Slice index 54 | Head | 240x240
FLAIR MRI.
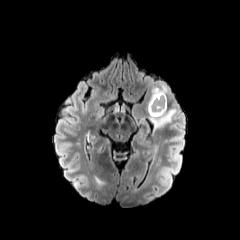
T1-weighted MR.
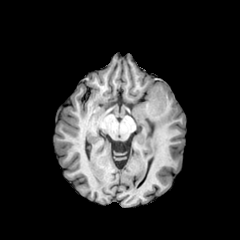
Post-contrast T1-weighted MRI.
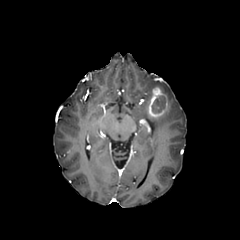
T2-weighted MR image.
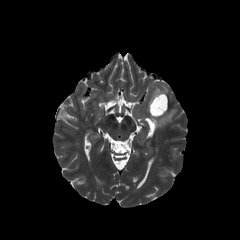
necrotic tumor core: bounding box [x1=152, y1=96, x2=165, y2=112]
peritumoral edema: bounding box [x1=147, y1=84, x2=168, y2=111], [x1=149, y1=109, x2=176, y2=127]
enhancing tumor: bounding box [x1=148, y1=87, x2=167, y2=117]